Slice 96 of 155 | Head
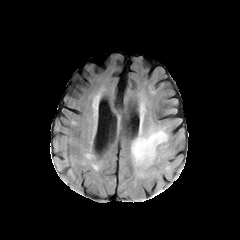
FLAIR MR.
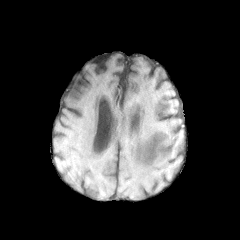
Same slice, T1-weighted magnetic resonance.
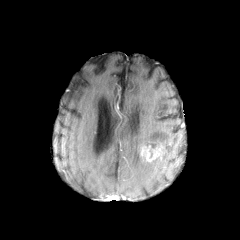
Post-contrast T1-weighted MR image.
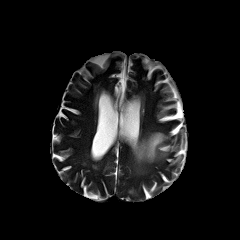
Same slice, T2-weighted MRI.
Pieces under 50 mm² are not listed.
Segmented structures:
• enhancing tumor: region(139, 142, 164, 162)
• necrotic tumor core: region(148, 140, 158, 147)
• peritumoral edema: region(131, 128, 169, 168)